FLAIR MR image.
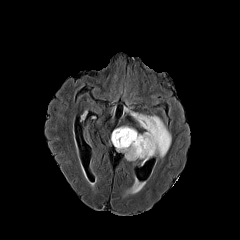
T1-weighted magnetic resonance.
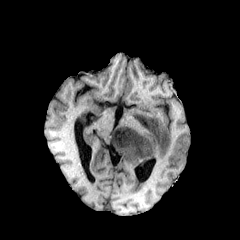
Post-contrast T1-weighted MR.
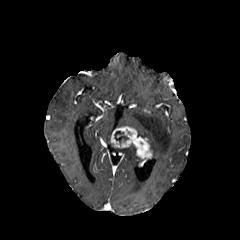
T2-weighted MR image.
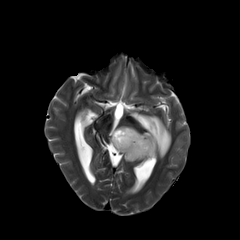
Head. Image size 240x240. Axial plane.
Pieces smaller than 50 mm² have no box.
The largest necrotic tumor core region lies within bbox=[114, 131, 128, 144]. 2 peritumoral edema regions are bounded by bbox=[131, 112, 171, 158]; bbox=[116, 146, 140, 161]. The largest enhancing tumor region appears at bbox=[111, 126, 152, 160].